FLAIR magnetic resonance.
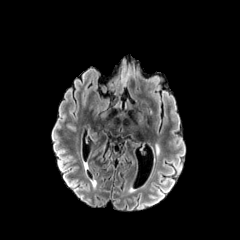
T1-weighted MR.
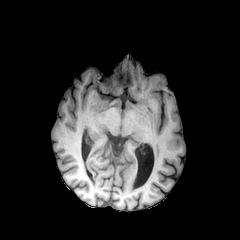
Post-contrast T1-weighted MR.
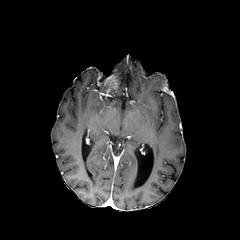
T2-weighted MR image.
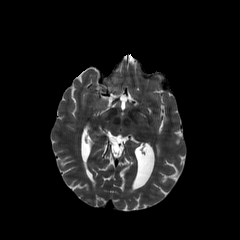
Brain; 240x240 px; Axial view
The enhancing tumor appears at x1=107, y1=76, x2=118, y2=90. The peritumoral edema lies within x1=115, y1=71, x2=124, y2=88.